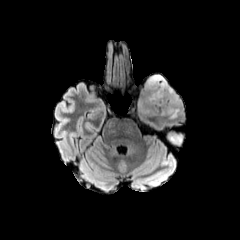
FLAIR MR image.
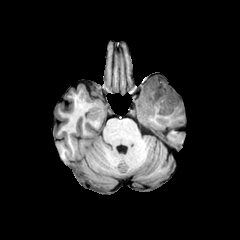
T1-weighted magnetic resonance of the same slice.
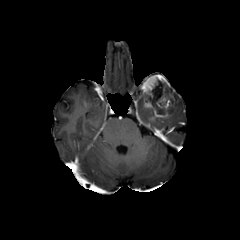
Same slice, post-contrast T1-weighted MRI.
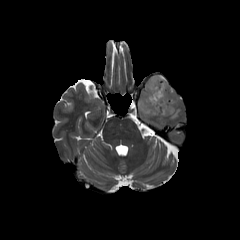
T2-weighted MRI.
Axial slice.
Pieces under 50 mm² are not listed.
necrotic_tumor_core:
  - {"x1": 146, "y1": 80, "x2": 169, "y2": 114}
peritumoral_edema:
  - {"x1": 138, "y1": 98, "x2": 152, "y2": 113}
  - {"x1": 168, "y1": 93, "x2": 181, "y2": 118}
enhancing_tumor:
  - {"x1": 139, "y1": 74, "x2": 174, "y2": 117}